FLAIR MR.
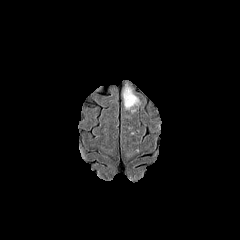
T1-weighted magnetic resonance.
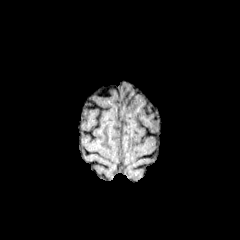
Post-contrast T1-weighted magnetic resonance.
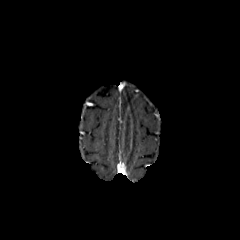
T2-weighted MR.
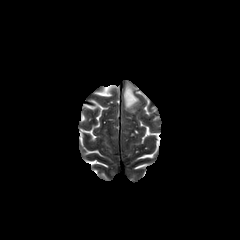
Brain
The peritumoral edema is located at 123 87 138 109.